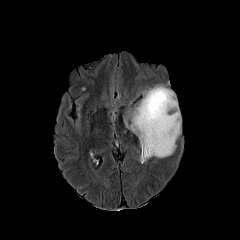
FLAIR MR image.
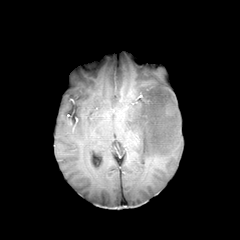
T1-weighted MR image.
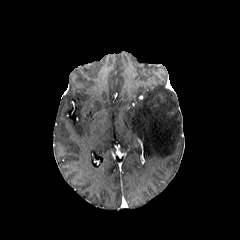
Post-contrast T1-weighted MRI.
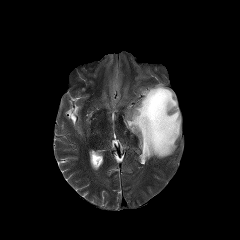
Same slice, T2-weighted magnetic resonance.
240x240
peritumoral edema — [x1=124, y1=85, x2=181, y2=160]